Slice index 98; Image covers 240 mm x 240 mm; Brain
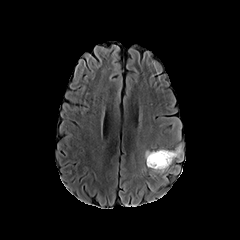
FLAIR magnetic resonance.
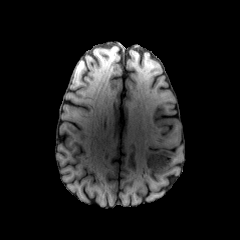
T1-weighted magnetic resonance of the same slice.
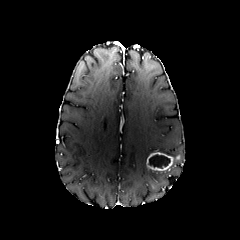
Post-contrast T1-weighted MR image.
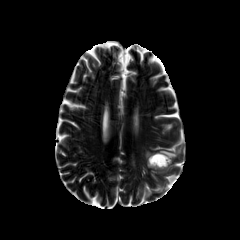
T2-weighted MR image.
3 peritumoral edema regions appear at x1=171, y1=117, x2=182, y2=140; x1=153, y1=164, x2=180, y2=182; x1=144, y1=141, x2=184, y2=162. The enhancing tumor is located at x1=146, y1=152, x2=173, y2=171. The necrotic tumor core is bounded by x1=149, y1=154, x2=170, y2=168.